Head, 240x240 px
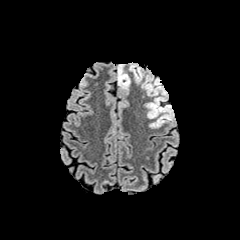
FLAIR MR.
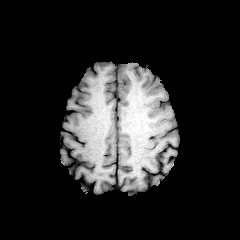
T1-weighted MRI of the same slice.
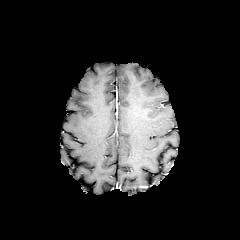
Same slice, post-contrast T1-weighted MR image.
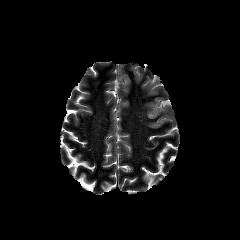
Same slice, T2-weighted MR.
Segmented structures:
* peritumoral edema: [142,76,173,128], [129,64,143,83], [117,64,130,90]